Image width 240 mm, 1.00 mm slice spacing. Axial view.
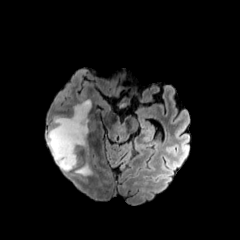
FLAIR MR image.
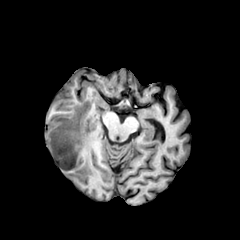
T1-weighted MRI.
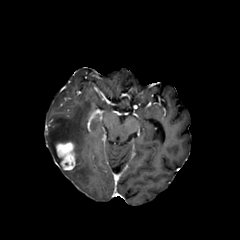
Post-contrast T1-weighted MR.
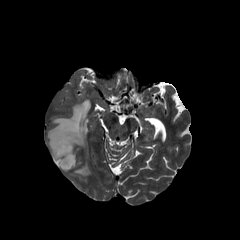
T2-weighted magnetic resonance.
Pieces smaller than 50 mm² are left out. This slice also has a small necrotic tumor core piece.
{"enhancing_tumor": ["56:141:75:170"], "peritumoral_edema": ["47:100:90:168", "75:164:91:175"]}